Slice 33/155. 240x240 px. Axial plane. Brain.
FLAIR magnetic resonance.
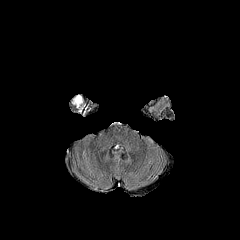
T1-weighted magnetic resonance.
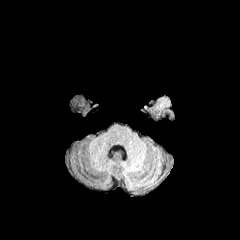
Post-contrast T1-weighted magnetic resonance.
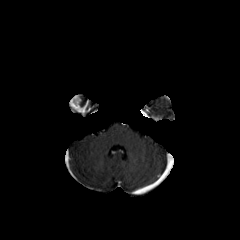
T2-weighted magnetic resonance.
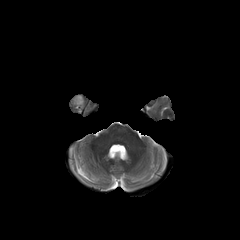
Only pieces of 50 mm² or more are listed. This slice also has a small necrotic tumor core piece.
enhancing_tumor:
  - (x1=69, y1=95, x2=86, y2=114)